Brain
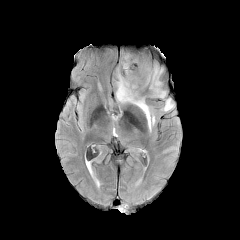
FLAIR MR.
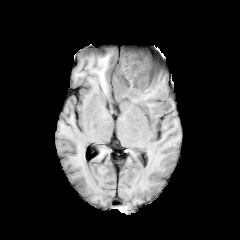
T1-weighted MR.
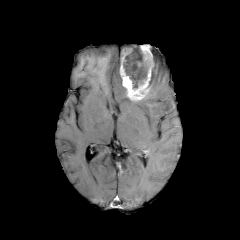
Post-contrast T1-weighted MR.
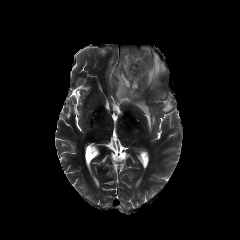
T2-weighted MRI of the same slice.
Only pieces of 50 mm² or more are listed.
Segmented structures:
- enhancing tumor: <bbox>119, 45, 158, 101</bbox>
- peritumoral edema: <bbox>162, 98, 173, 111</bbox>, <bbox>146, 63, 169, 98</bbox>, <bbox>116, 66, 155, 131</bbox>
- necrotic tumor core: <bbox>123, 47, 146, 88</bbox>